Slice 90 of 155; Axial view; Image width 240 mm
FLAIR MR.
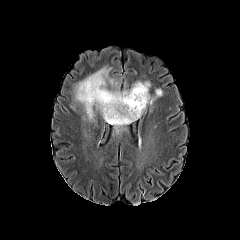
T1-weighted MR image.
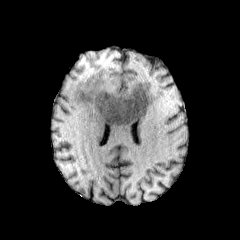
Post-contrast T1-weighted MR.
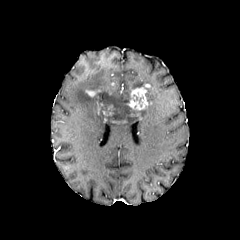
T2-weighted MRI.
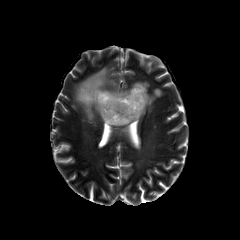
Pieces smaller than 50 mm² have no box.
The 3 largest peritumoral edema regions are located at 74:67:150:120, 107:108:146:133, 147:88:162:105. The largest necrotic tumor core region is bounded by 98:96:139:123. The 2 largest enhancing tumor regions appear at 85:89:100:96, 127:84:149:110.